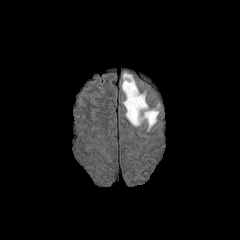
FLAIR MRI.
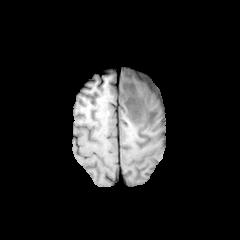
Same slice, T1-weighted MR image.
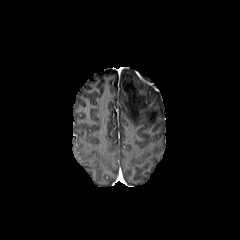
Post-contrast T1-weighted magnetic resonance.
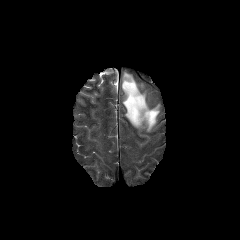
T2-weighted MRI.
240x240 px. Brain.
The peritumoral edema is bounded by [121, 73, 159, 130].